Brain | Axial plane | 240x240 px
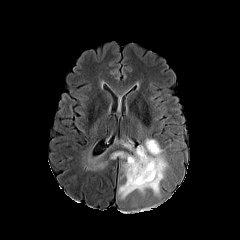
FLAIR magnetic resonance.
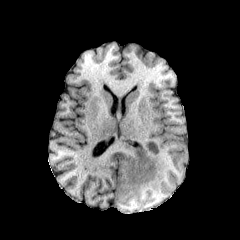
T1-weighted MR image.
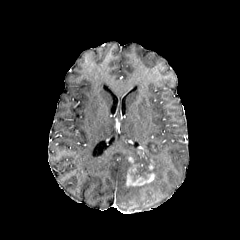
Post-contrast T1-weighted MR image.
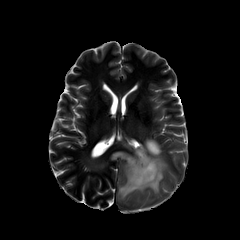
T2-weighted MR image.
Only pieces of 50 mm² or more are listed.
necrotic tumor core: bbox=[131, 162, 154, 180] | enhancing tumor: bbox=[126, 164, 155, 186] | peritumoral edema: bbox=[111, 139, 168, 199]